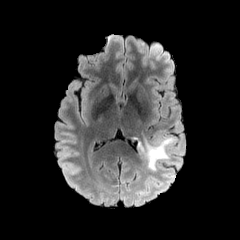
FLAIR MR.
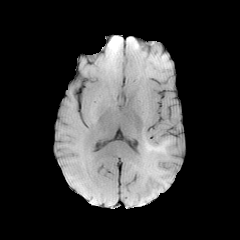
T1-weighted MR of the same slice.
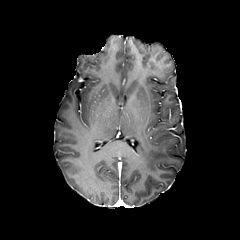
Post-contrast T1-weighted magnetic resonance of the same slice.
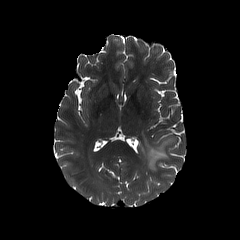
T2-weighted magnetic resonance of the same slice.
240x240 px
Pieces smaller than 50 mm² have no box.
The largest peritumoral edema region lies within x1=137 y1=136 x2=175 y2=171.